FLAIR MR.
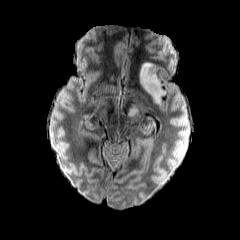
T1-weighted magnetic resonance.
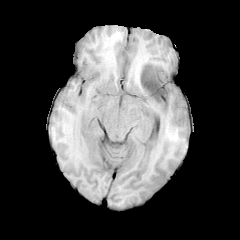
Post-contrast T1-weighted MR.
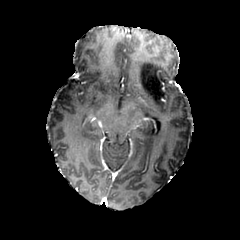
T2-weighted magnetic resonance.
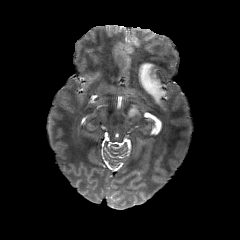
Head
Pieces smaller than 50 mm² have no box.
peritumoral edema: x1=139 y1=61 x2=165 y2=104